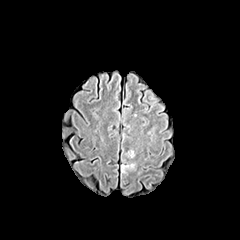
FLAIR magnetic resonance.
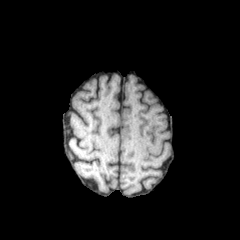
T1-weighted MR image.
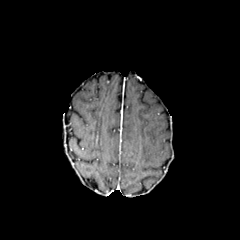
Same slice, post-contrast T1-weighted MRI.
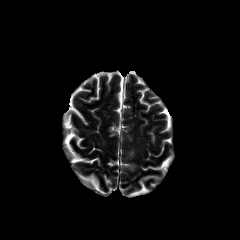
T2-weighted MR image.
Axial plane
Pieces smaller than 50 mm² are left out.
The largest peritumoral edema region is at {"x1": 121, "y1": 164, "x2": 134, "y2": 173}.